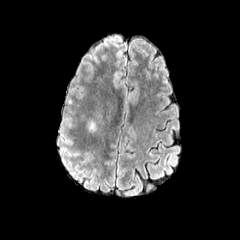
FLAIR magnetic resonance.
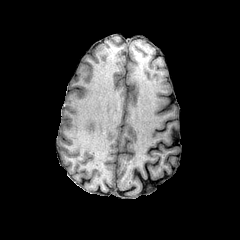
T1-weighted magnetic resonance.
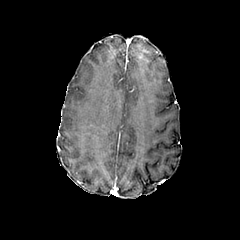
Post-contrast T1-weighted MR image.
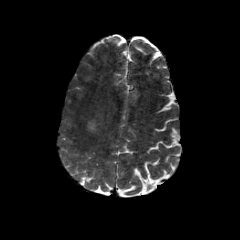
Same slice, T2-weighted MR image.
Brain
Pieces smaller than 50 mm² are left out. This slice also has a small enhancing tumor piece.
peritumoral edema: 88,120,97,132